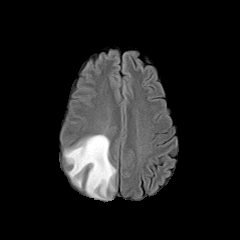
FLAIR MR.
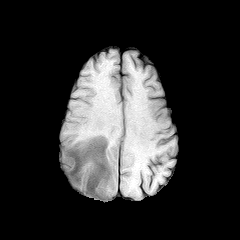
T1-weighted magnetic resonance of the same slice.
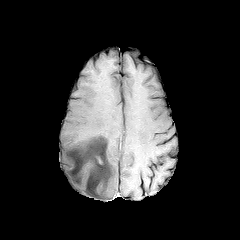
Same slice, post-contrast T1-weighted MRI.
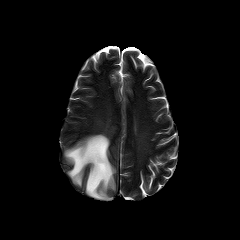
T2-weighted MR of the same slice.
Axial plane
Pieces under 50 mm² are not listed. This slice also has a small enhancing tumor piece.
peritumoral edema — box=[64, 134, 116, 199]